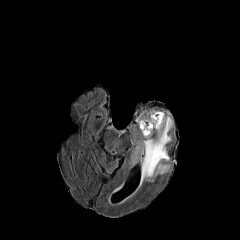
FLAIR MR.
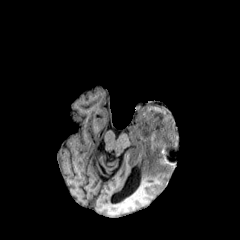
T1-weighted magnetic resonance.
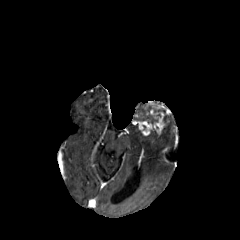
Same slice, post-contrast T1-weighted magnetic resonance.
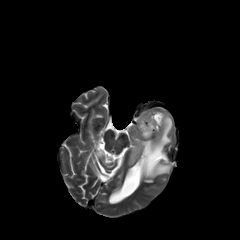
T2-weighted MRI.
Head, 240x240 px
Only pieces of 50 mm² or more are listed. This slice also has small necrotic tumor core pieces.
The largest enhancing tumor region lies within rect(138, 110, 165, 135). The 2 largest peritumoral edema regions are bounded by rect(137, 114, 148, 122); rect(135, 114, 173, 184).